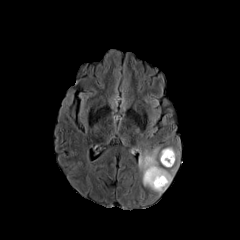
FLAIR MRI.
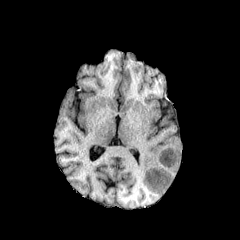
T1-weighted magnetic resonance.
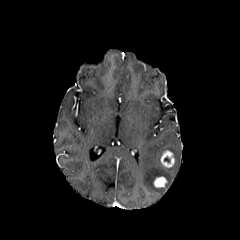
Post-contrast T1-weighted magnetic resonance of the same slice.
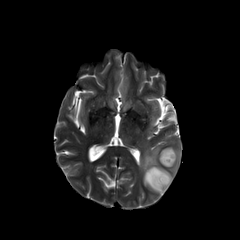
T2-weighted MRI.
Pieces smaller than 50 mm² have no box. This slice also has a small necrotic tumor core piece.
{"enhancing_tumor": ["left=153, top=176, right=167, bottom=187", "left=160, top=150, right=174, bottom=167"], "peritumoral_edema": ["left=138, top=147, right=180, bottom=195"]}